Image size 240x240. Axial plane.
FLAIR MRI.
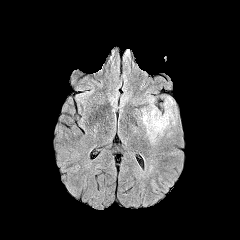
T1-weighted MR image.
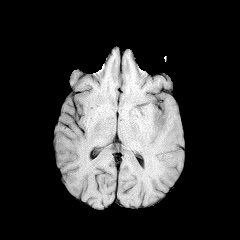
Post-contrast T1-weighted MR image.
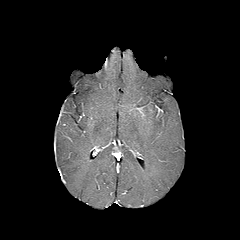
T2-weighted MR.
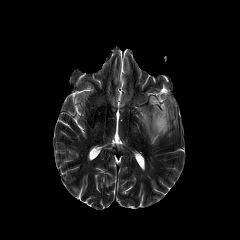
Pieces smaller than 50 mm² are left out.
peritumoral edema: bounding box (x1=139, y1=97, x2=175, y2=143)